Image size 240x240; Brain; Axial view
FLAIR magnetic resonance.
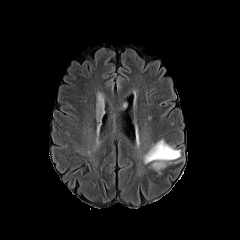
T1-weighted MRI.
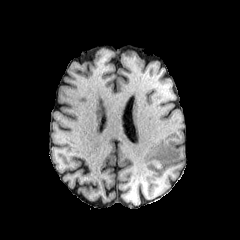
Post-contrast T1-weighted MR.
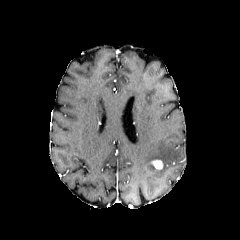
T2-weighted MRI.
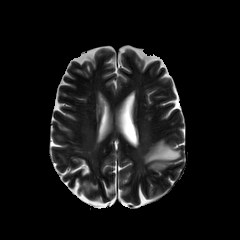
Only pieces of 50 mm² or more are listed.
{"peritumoral_edema": ["left=143, top=139, right=180, bottom=168"], "enhancing_tumor": ["left=151, top=160, right=163, bottom=169"]}